Image width 240 mm. 240x240. Axial view.
FLAIR MRI.
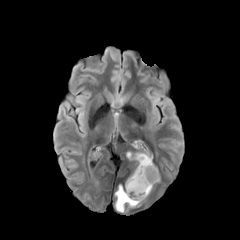
T1-weighted magnetic resonance.
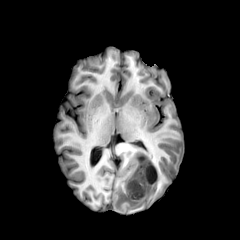
Post-contrast T1-weighted MR.
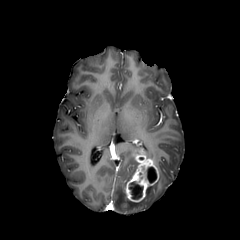
T2-weighted MR image.
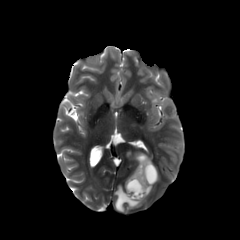
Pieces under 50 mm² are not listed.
The largest peritumoral edema region is located at [115, 185, 141, 212]. The 2 largest necrotic tumor core regions are located at [129, 182, 142, 199], [147, 167, 156, 183]. The enhancing tumor is bounded by [125, 150, 158, 202].